Slice 41/155 | Axial slice | Image size 240x240
FLAIR MRI.
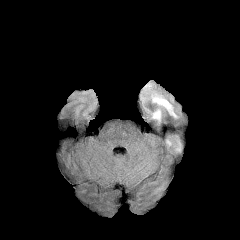
T1-weighted MR.
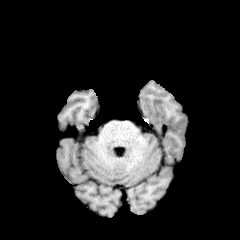
Post-contrast T1-weighted MRI.
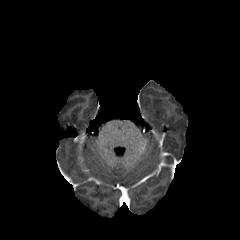
T2-weighted MRI.
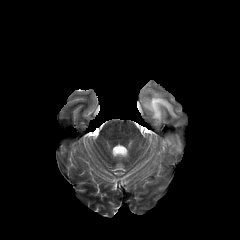
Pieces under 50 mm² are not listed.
peritumoral edema: bounding box (left=151, top=92, right=177, bottom=122)